Brain. Slice 97 of 155. Image width 240 mm, 1.00 mm slice spacing. Image size 240x240. Axial view.
FLAIR MR.
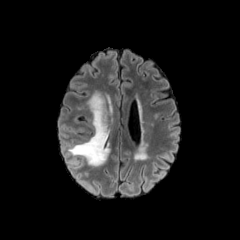
T1-weighted MR image.
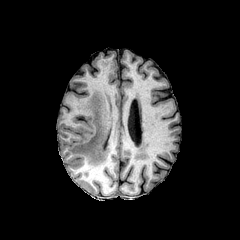
Post-contrast T1-weighted MR.
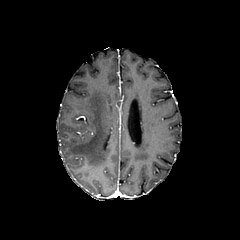
T2-weighted MRI.
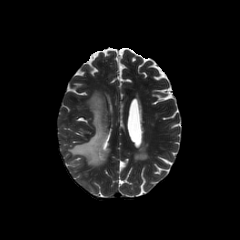
peritumoral edema: box=[69, 92, 110, 166]